240x240 | Slice index 81 | Axial view
FLAIR MR.
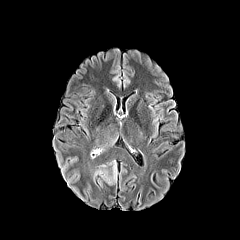
T1-weighted MRI.
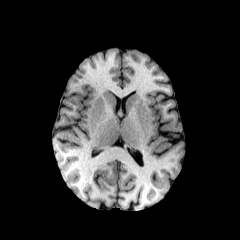
Post-contrast T1-weighted MRI.
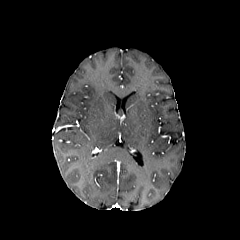
T2-weighted magnetic resonance.
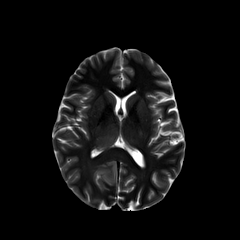
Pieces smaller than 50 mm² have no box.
The largest peritumoral edema region is located at <bbox>113, 163, 116, 179</bbox>.